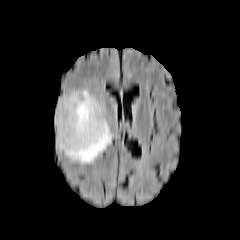
FLAIR MR image.
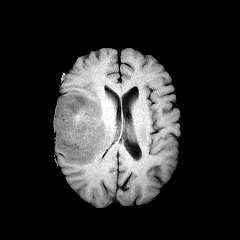
T1-weighted magnetic resonance.
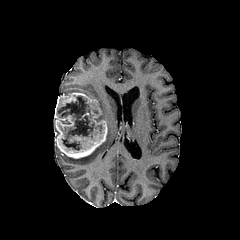
Post-contrast T1-weighted MR.
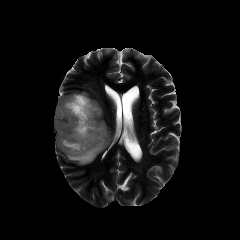
T2-weighted MR.
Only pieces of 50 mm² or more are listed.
peritumoral edema — {"x1": 68, "y1": 90, "x2": 95, "y2": 98}, {"x1": 66, "y1": 123, "x2": 112, "y2": 164}
enhancing tumor — {"x1": 54, "y1": 92, "x2": 107, "y2": 158}
necrotic tumor core — {"x1": 57, "y1": 96, "x2": 102, "y2": 150}